FLAIR magnetic resonance.
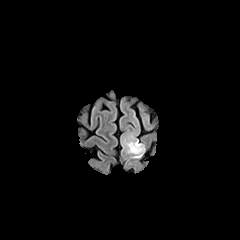
T1-weighted MR image.
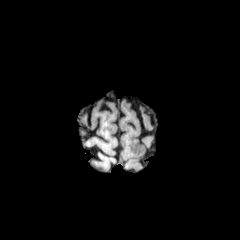
Post-contrast T1-weighted MR image.
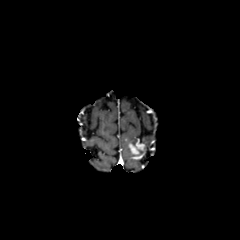
T2-weighted MR.
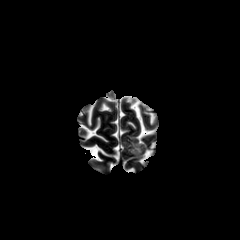
Axial slice | Brain
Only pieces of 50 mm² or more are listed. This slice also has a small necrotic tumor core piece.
The peritumoral edema appears at 121, 132, 137, 155. The largest enhancing tumor region is located at 128, 140, 145, 158.